FLAIR MRI.
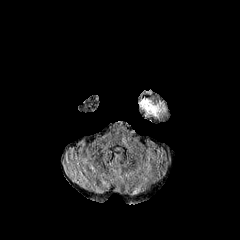
T1-weighted MRI.
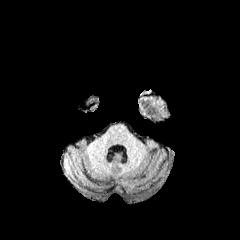
Post-contrast T1-weighted MR.
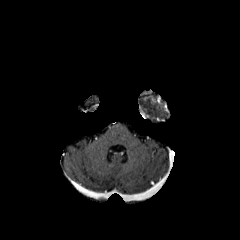
T2-weighted magnetic resonance.
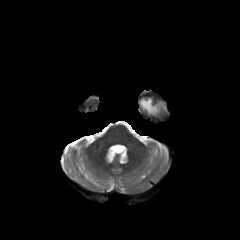
240x240, Brain, Axial view
The peritumoral edema appears at <bbox>139, 98, 161, 116</bbox>.